Brain; Axial view; Image covers 240 mm x 240 mm; Slice index 82
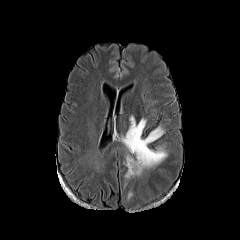
FLAIR MR image.
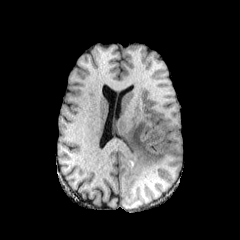
T1-weighted MR.
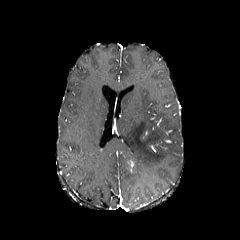
Post-contrast T1-weighted magnetic resonance.
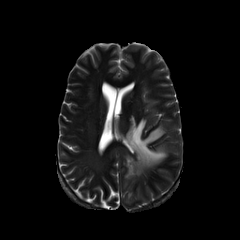
T2-weighted MR.
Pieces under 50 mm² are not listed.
peritumoral edema — (x1=123, y1=116, x2=167, y2=178)
enhancing tumor — (x1=128, y1=160, x2=136, y2=174)